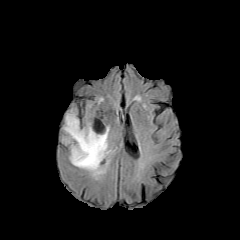
FLAIR MR.
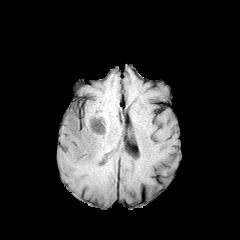
Same slice, T1-weighted MRI.
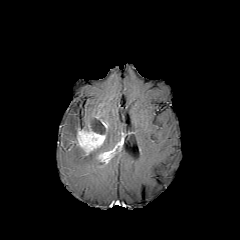
Post-contrast T1-weighted magnetic resonance.
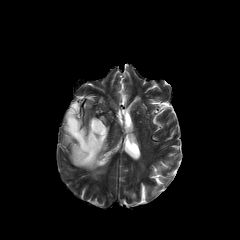
Same slice, T2-weighted magnetic resonance.
Head
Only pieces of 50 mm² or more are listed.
peritumoral edema at (63, 105, 111, 178)
enhancing tumor at (77, 129, 105, 154), (98, 150, 114, 163)
necrotic tumor core at (90, 119, 105, 134)